FLAIR MR.
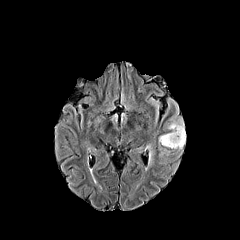
T1-weighted MRI.
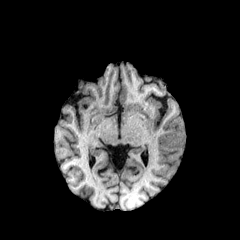
Post-contrast T1-weighted magnetic resonance.
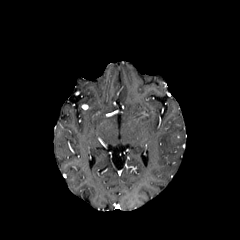
T2-weighted MR.
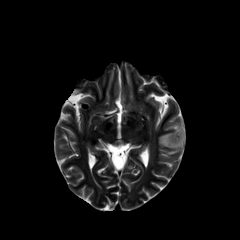
Axial view
enhancing_tumor:
  - <bbox>170, 133, 180, 143</bbox>
peritumoral_edema:
  - <bbox>159, 119, 185, 149</bbox>